Image width 240 mm, 1.00 mm slice spacing | Head | Axial plane | Image size 240x240
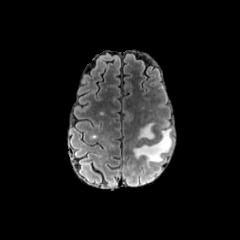
FLAIR magnetic resonance.
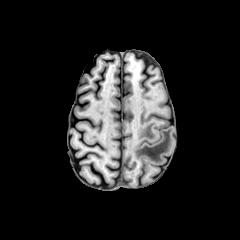
T1-weighted MR image of the same slice.
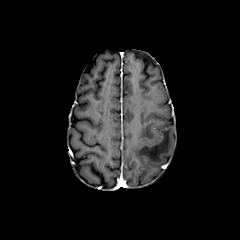
Post-contrast T1-weighted MR of the same slice.
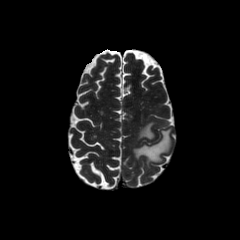
T2-weighted MRI of the same slice.
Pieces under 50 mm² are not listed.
Findings:
• peritumoral edema: 138, 122, 154, 139; 133, 128, 172, 166